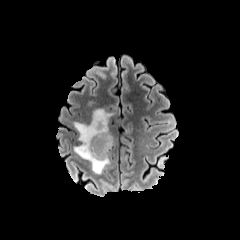
FLAIR magnetic resonance.
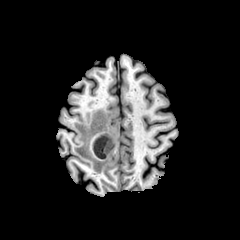
T1-weighted MRI.
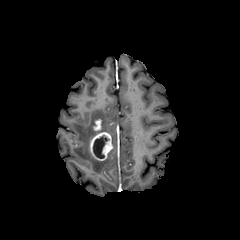
Post-contrast T1-weighted magnetic resonance.
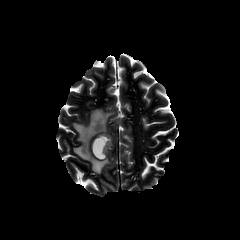
T2-weighted MR of the same slice.
Head
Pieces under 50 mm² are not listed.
The necrotic tumor core appears at [93,135,108,158]. 2 enhancing tumor regions appear at [90,132,112,160], [93,119,101,131]. The largest peritumoral edema region is bounded by [73,109,113,174].